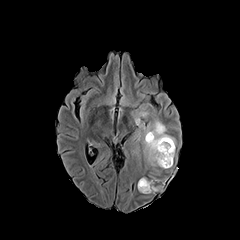
FLAIR MR.
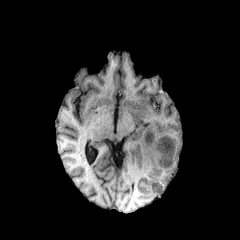
T1-weighted MR of the same slice.
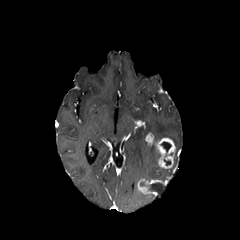
Post-contrast T1-weighted MRI of the same slice.
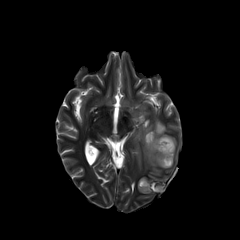
T2-weighted MR image of the same slice.
240x240 px; Brain; Axial plane
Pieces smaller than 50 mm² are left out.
<segmentation>
  <enhancing_tumor>(137,178,160,194), (145,132,175,168)</enhancing_tumor>
  <peritumoral_edema>(136,109,148,116), (135,120,175,166)</peritumoral_edema>
  <necrotic_tumor_core>(149,183,160,192), (161,142,171,152)</necrotic_tumor_core>
</segmentation>